FLAIR MR image.
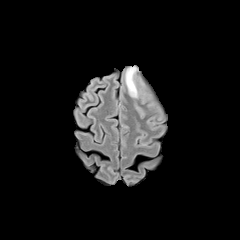
T1-weighted MR image.
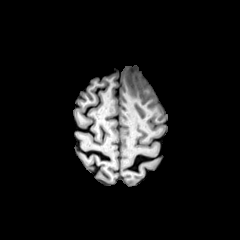
Post-contrast T1-weighted magnetic resonance.
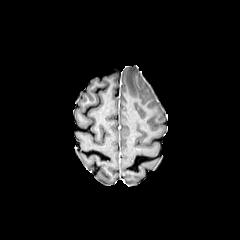
T2-weighted MRI.
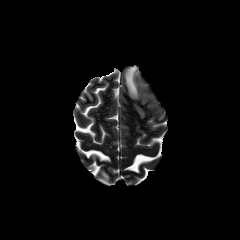
240x240 px, Brain, Axial plane
The peritumoral edema is at 125 67 137 97.